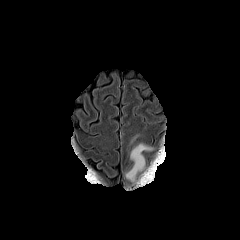
FLAIR MR image.
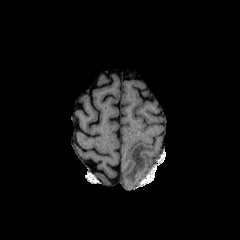
T1-weighted MR image.
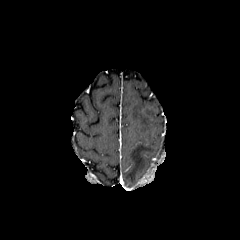
Post-contrast T1-weighted MRI.
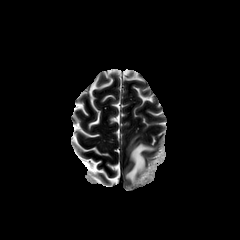
T2-weighted MR.
Brain
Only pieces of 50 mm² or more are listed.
Segmented structures:
- peritumoral edema: bbox=[126, 143, 155, 182]